Head, 240x240
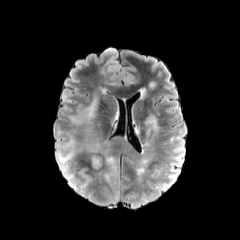
FLAIR magnetic resonance.
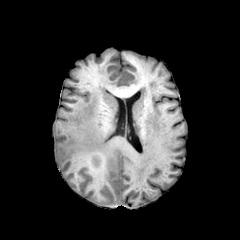
T1-weighted magnetic resonance of the same slice.
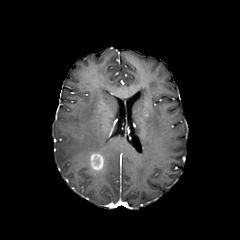
Same slice, post-contrast T1-weighted magnetic resonance.
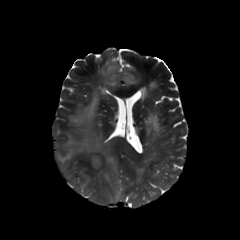
T2-weighted magnetic resonance.
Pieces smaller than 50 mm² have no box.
The 4 largest peritumoral edema regions are bounded by x1=70, y1=97, x2=97, y2=133; x1=105, y1=155, x2=117, y2=173; x1=85, y1=140, x2=101, y2=152; x1=56, y1=137, x2=75, y2=178. The enhancing tumor is bounded by x1=90, y1=153, x2=103, y2=170.